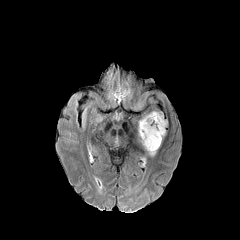
FLAIR MR image.
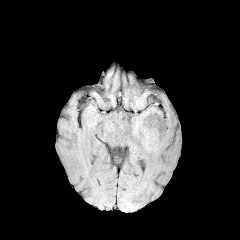
Same slice, T1-weighted MRI.
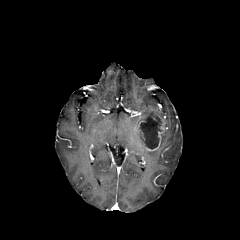
Post-contrast T1-weighted MR image of the same slice.
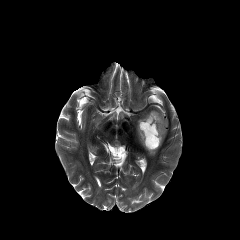
T2-weighted MR image of the same slice.
Head
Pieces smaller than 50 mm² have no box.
The largest peritumoral edema region is at x1=138, y1=111, x2=163, y2=124. The necrotic tumor core lies within x1=139, y1=116, x2=161, y2=149. The enhancing tumor is bounded by x1=138, y1=115, x2=165, y2=151.